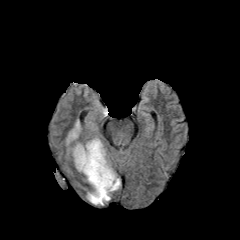
FLAIR MR image.
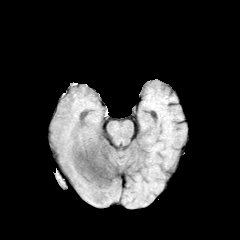
T1-weighted MR image.
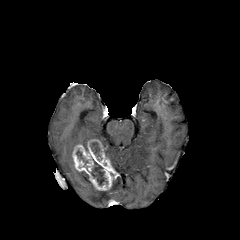
Same slice, post-contrast T1-weighted MRI.
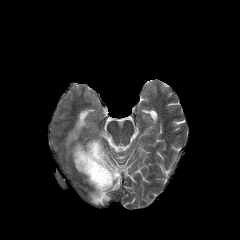
T2-weighted MR.
Head
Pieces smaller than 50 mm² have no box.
The 2 largest peritumoral edema regions are located at x1=66 y1=120 x2=81 y2=145, x1=87 y1=177 x2=120 y2=205. The 2 largest necrotic tumor core regions are located at x1=91 y1=161 x2=105 y2=185, x1=91 y1=142 x2=99 y2=155. The enhancing tumor is at x1=72 y1=139 x2=118 y2=190.